Axial plane
FLAIR magnetic resonance.
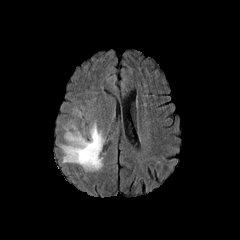
T1-weighted MR image.
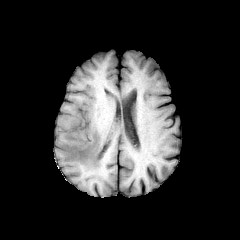
Post-contrast T1-weighted MR.
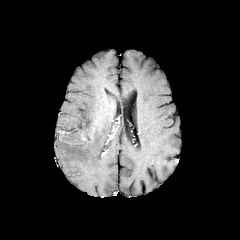
T2-weighted MR.
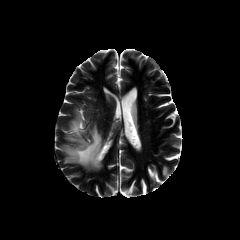
<segmentation>
  <peritumoral_edema>x1=74 y1=108 x2=83 y2=118, x1=60 y1=120 x2=104 y2=170</peritumoral_edema>
</segmentation>